Slice 113/155; Brain
FLAIR MR.
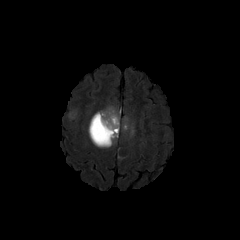
T1-weighted MRI.
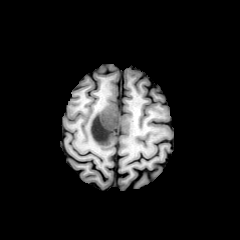
Post-contrast T1-weighted MR.
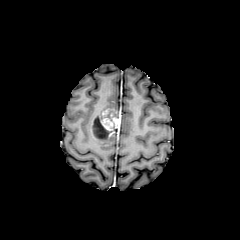
T2-weighted magnetic resonance.
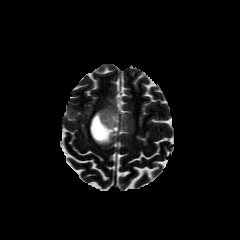
2 enhancing tumor regions are bounded by [x1=99, y1=111, x2=120, y2=137], [x1=90, y1=115, x2=109, y2=142]. 3 peritumoral edema regions appear at [x1=122, y1=117, x2=133, y2=135], [x1=88, y1=106, x2=120, y2=147], [x1=68, y1=111, x2=77, y2=118]. The necrotic tumor core is at [x1=92, y1=115, x2=111, y2=140].